Axial view
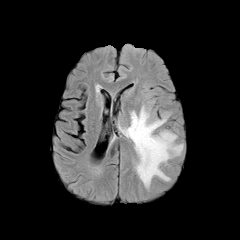
FLAIR magnetic resonance.
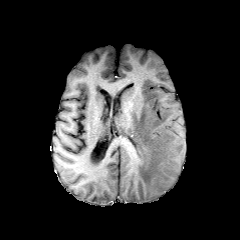
Same slice, T1-weighted magnetic resonance.
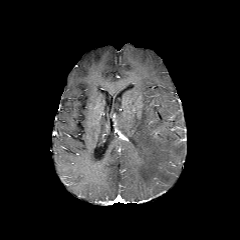
Post-contrast T1-weighted MR.
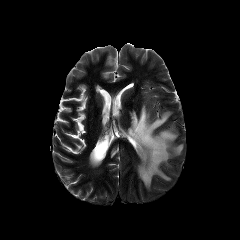
T2-weighted magnetic resonance of the same slice.
The peritumoral edema appears at box=[119, 105, 183, 188].